Brain.
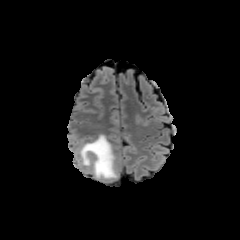
FLAIR magnetic resonance.
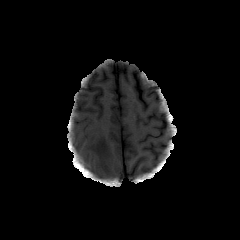
T1-weighted MRI.
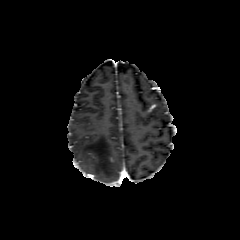
Post-contrast T1-weighted MRI.
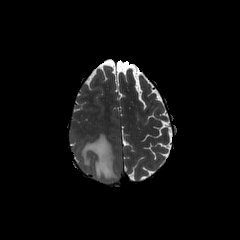
T2-weighted magnetic resonance.
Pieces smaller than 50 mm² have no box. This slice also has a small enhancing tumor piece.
peritumoral edema — x1=80, y1=134, x2=117, y2=181